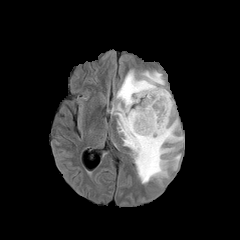
FLAIR MRI.
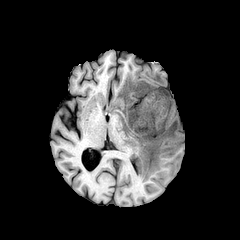
T1-weighted MR.
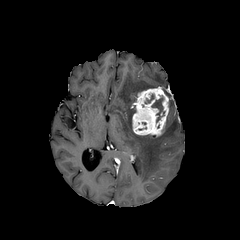
Post-contrast T1-weighted MR.
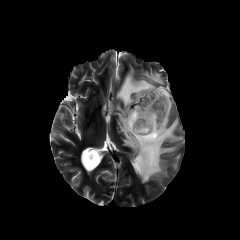
T2-weighted magnetic resonance.
Brain. Axial view. 240x240 px.
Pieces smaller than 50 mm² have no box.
<segmentation>
  <enhancing_tumor><box>132,86,169,136</box></enhancing_tumor>
  <necrotic_tumor_core><box>152,97,163,121</box></necrotic_tumor_core>
  <peritumoral_edema><box>111,70,183,183</box>, <box>172,154,180,169</box></peritumoral_edema>
</segmentation>